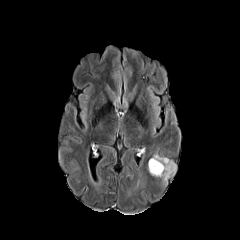
FLAIR MRI.
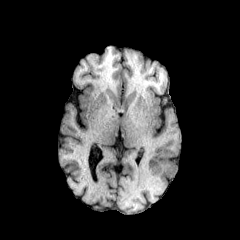
T1-weighted MR.
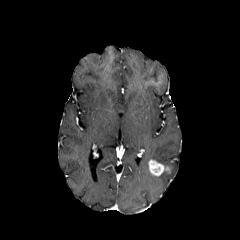
Post-contrast T1-weighted MRI of the same slice.
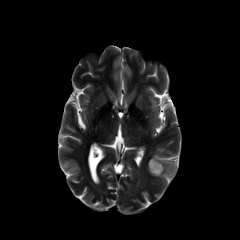
T2-weighted magnetic resonance.
Brain
enhancing tumor: box(148, 159, 171, 176)
peritumoral edema: box(151, 153, 176, 184)